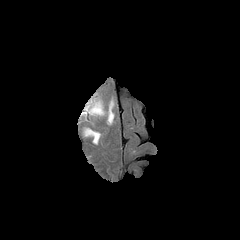
FLAIR magnetic resonance.
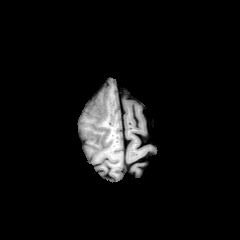
T1-weighted magnetic resonance of the same slice.
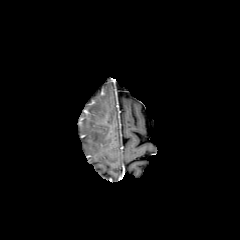
Post-contrast T1-weighted MR image.
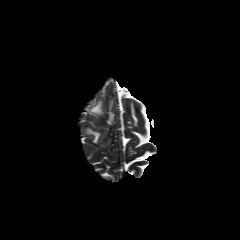
T2-weighted MR image.
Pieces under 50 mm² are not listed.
{"peritumoral_edema": ["[107,101,114,123]", "[84,128,100,143]", "[85,101,104,115]"]}